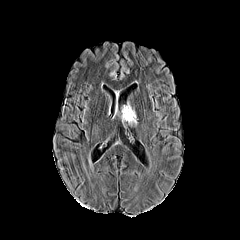
FLAIR magnetic resonance.
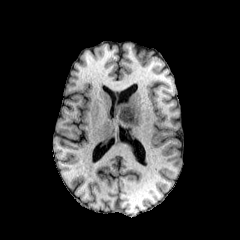
T1-weighted MR.
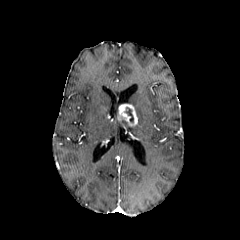
Post-contrast T1-weighted MRI of the same slice.
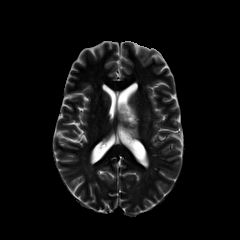
T2-weighted MR image of the same slice.
Head.
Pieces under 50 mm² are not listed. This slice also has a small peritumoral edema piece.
The enhancing tumor is bounded by bbox(118, 104, 137, 126). The necrotic tumor core lies within bbox(126, 108, 133, 121).